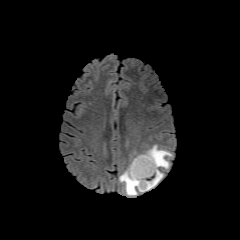
FLAIR MR.
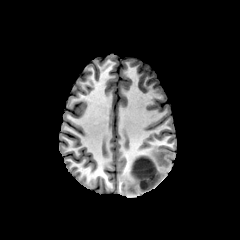
T1-weighted magnetic resonance of the same slice.
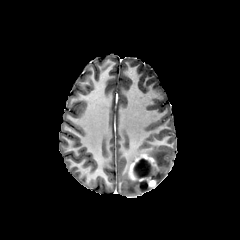
Post-contrast T1-weighted MRI.
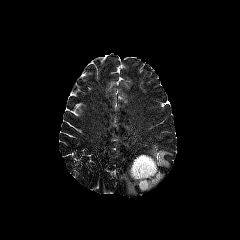
Same slice, T2-weighted magnetic resonance.
Head.
The necrotic tumor core appears at 134, 158, 152, 178. 2 peritumoral edema regions appear at 143, 145, 172, 184; 119, 154, 151, 195. The enhancing tumor is at 128, 154, 157, 187.